Slice 103/155 | Brain | Image size 240x240
FLAIR MRI.
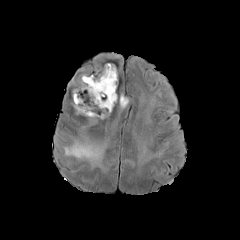
T1-weighted MR image.
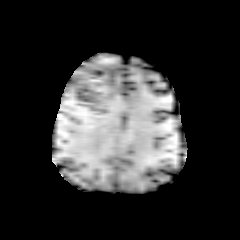
Post-contrast T1-weighted magnetic resonance.
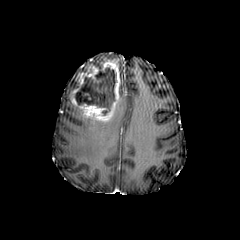
T2-weighted MR.
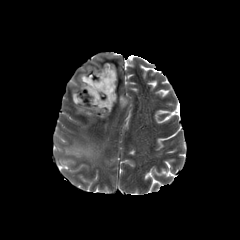
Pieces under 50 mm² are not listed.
enhancing tumor: bbox=[72, 62, 120, 120] | peritumoral edema: bbox=[64, 141, 103, 165]; bbox=[119, 94, 128, 107] | necrotic tumor core: bbox=[75, 67, 116, 109]